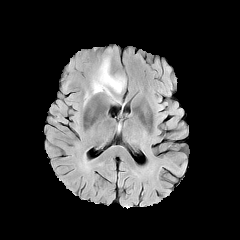
FLAIR MR image.
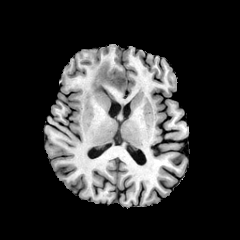
T1-weighted magnetic resonance.
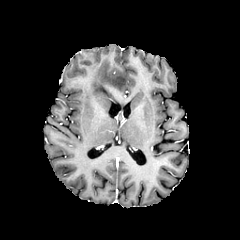
Same slice, post-contrast T1-weighted MR.
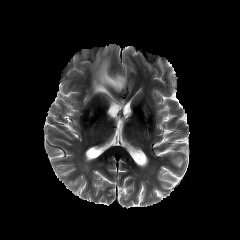
T2-weighted MR image.
Brain
peritumoral edema: (84, 92, 90, 104), (91, 57, 125, 102)